FLAIR MR.
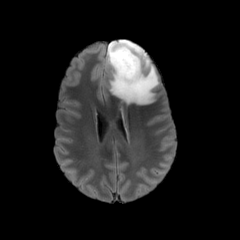
T1-weighted MRI.
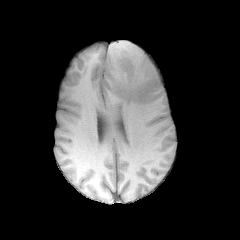
Post-contrast T1-weighted MR image.
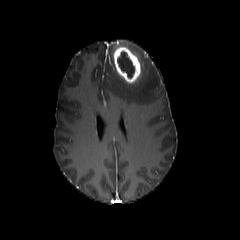
T2-weighted magnetic resonance.
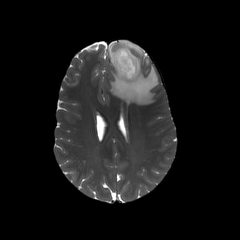
The peritumoral edema appears at [105,40,159,104]. The necrotic tumor core lies within [117,51,134,78]. The enhancing tumor is located at [112,45,141,84].